Slice 48 of 155, Head, Axial slice
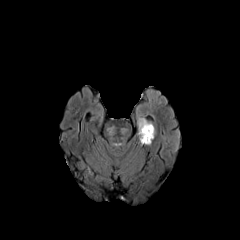
FLAIR MR image.
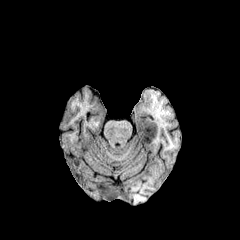
T1-weighted MRI of the same slice.
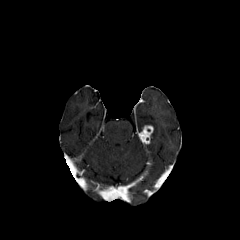
Post-contrast T1-weighted MR image.
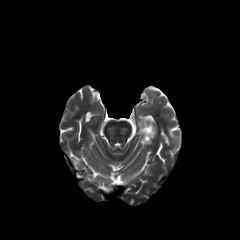
T2-weighted magnetic resonance.
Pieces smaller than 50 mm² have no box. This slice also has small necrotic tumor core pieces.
Findings:
• peritumoral edema: left=137, top=116, right=153, bottom=132
• enhancing tumor: left=137, top=125, right=153, bottom=144